FLAIR MR image.
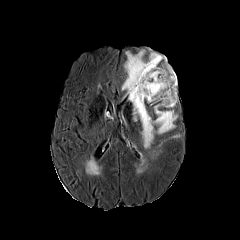
T1-weighted MR.
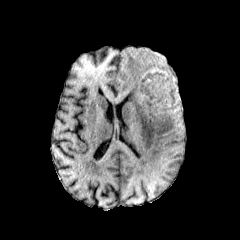
Post-contrast T1-weighted MRI.
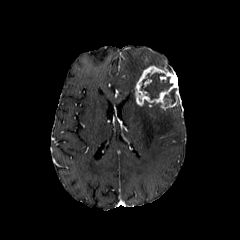
T2-weighted magnetic resonance.
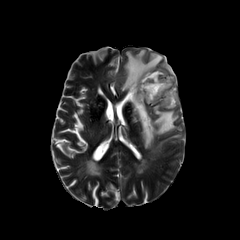
Head; 240x240 px
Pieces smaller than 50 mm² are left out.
{
  "peritumoral_edema": [
    "x1=122 y1=50 x2=177 y2=148",
    "x1=160 y1=61 x2=172 y2=71"
  ],
  "enhancing_tumor": [
    "x1=134 y1=65 x2=179 y2=109"
  ],
  "necrotic_tumor_core": [
    "x1=164 y1=89 x2=175 y2=104",
    "x1=141 y1=73 x2=172 y2=99"
  ]
}